Brain.
FLAIR MR.
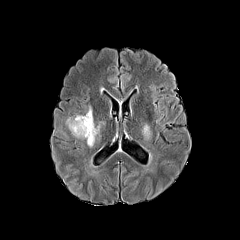
T1-weighted MR.
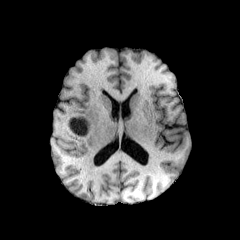
Post-contrast T1-weighted magnetic resonance.
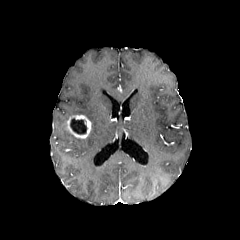
T2-weighted MRI.
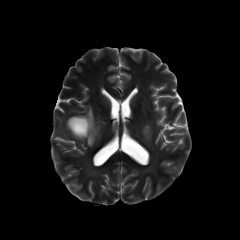
{
  "necrotic_tumor_core": [
    "[x1=70, y1=118, x2=86, y2=134]"
  ],
  "peritumoral_edema": [
    "[x1=85, y1=107, x2=99, y2=147]",
    "[x1=142, y1=124, x2=150, y2=139]"
  ],
  "enhancing_tumor": [
    "[x1=66, y1=115, x2=91, y2=138]"
  ]
}